Slice 44 of 155 | Axial view
FLAIR MR.
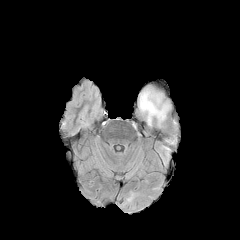
T1-weighted MRI.
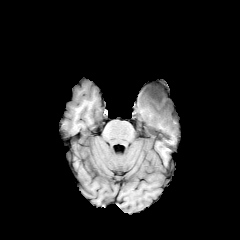
Post-contrast T1-weighted MR image.
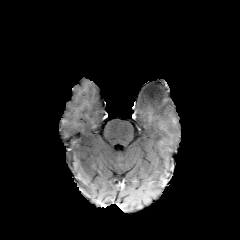
T2-weighted magnetic resonance.
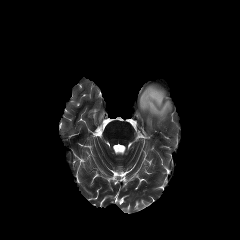
The necrotic tumor core is located at left=146, top=87, right=163, bottom=103. The peritumoral edema lies within left=138, top=86, right=171, bottom=126.